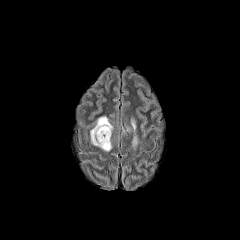
FLAIR MR image.
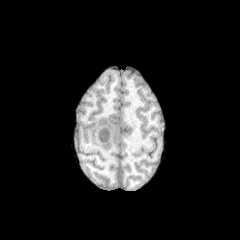
Same slice, T1-weighted MR.
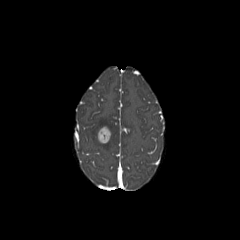
Post-contrast T1-weighted MRI.
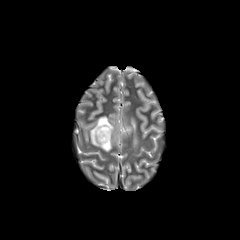
Same slice, T2-weighted MRI.
Axial plane
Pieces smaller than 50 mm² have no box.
enhancing_tumor:
  - <bbox>97, 126, 110, 143</bbox>
peritumoral_edema:
  - <bbox>90, 116, 113, 151</bbox>